FLAIR MR image.
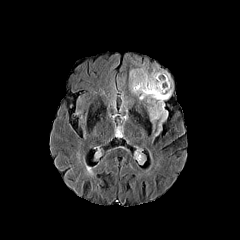
T1-weighted MR.
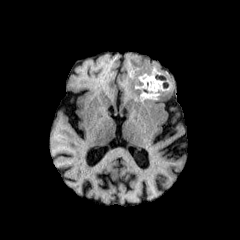
Post-contrast T1-weighted MR image.
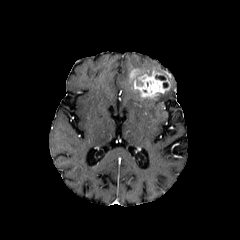
T2-weighted MR image.
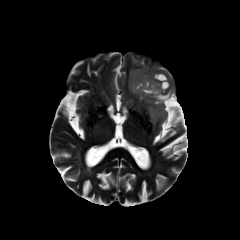
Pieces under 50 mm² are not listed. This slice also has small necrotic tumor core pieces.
The 3 largest peritumoral edema regions appear at 137, 66, 151, 75; 129, 75, 145, 99; 147, 79, 172, 130. The enhancing tumor appears at 130, 69, 170, 97.